FLAIR magnetic resonance.
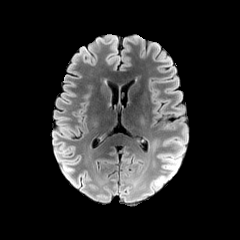
T1-weighted MR image.
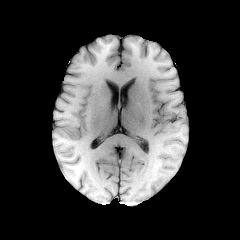
Post-contrast T1-weighted MRI.
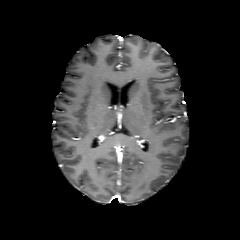
T2-weighted MRI.
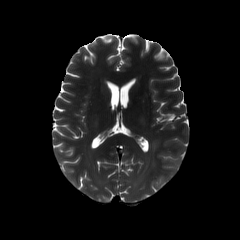
Brain. Axial plane.
peritumoral edema = 154 138 185 187